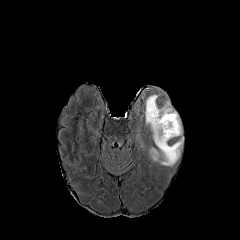
FLAIR magnetic resonance.
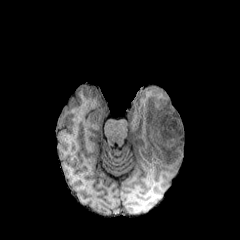
T1-weighted MR image.
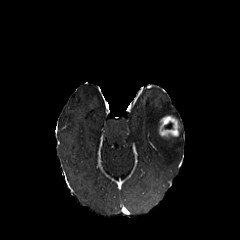
Post-contrast T1-weighted MRI of the same slice.
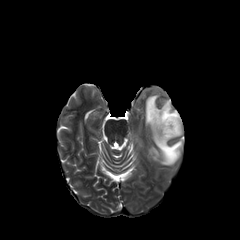
T2-weighted magnetic resonance.
Head.
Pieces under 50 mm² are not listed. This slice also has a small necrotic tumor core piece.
The peritumoral edema is bounded by {"x1": 145, "y1": 94, "x2": 183, "y2": 165}. The enhancing tumor is bounded by {"x1": 159, "y1": 115, "x2": 180, "y2": 138}.